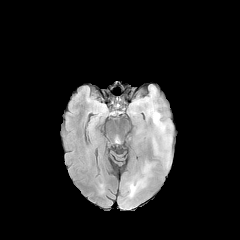
FLAIR MR image.
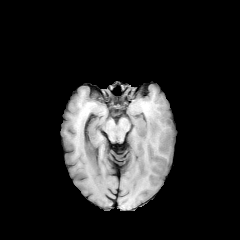
T1-weighted MR.
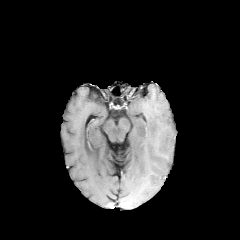
Post-contrast T1-weighted MRI.
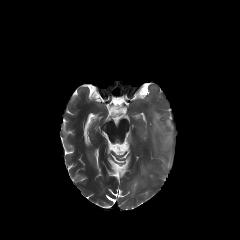
Same slice, T2-weighted MR image.
Brain
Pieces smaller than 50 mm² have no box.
Annotated regions:
* peritumoral edema: x1=153 y1=112 x2=171 y2=144